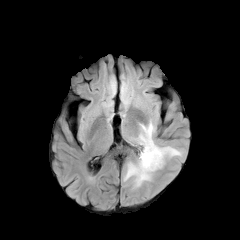
FLAIR MRI.
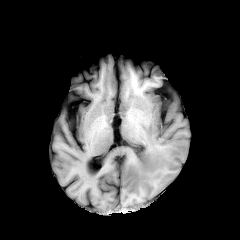
T1-weighted MRI.
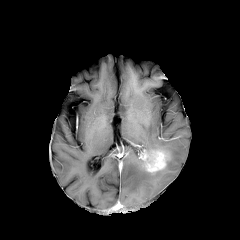
Post-contrast T1-weighted magnetic resonance.
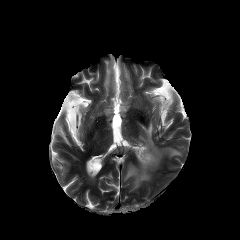
T2-weighted MRI of the same slice.
Head. Axial plane.
<segmentation>
  <enhancing_tumor>box=[139, 150, 166, 172]</enhancing_tumor>
  <peritumoral_edema>box=[139, 122, 181, 158]; box=[124, 159, 150, 187]</peritumoral_edema>
</segmentation>